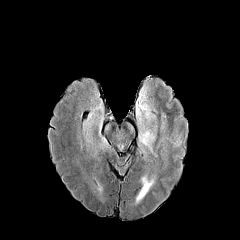
FLAIR MR.
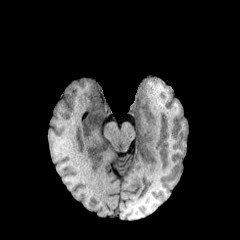
T1-weighted magnetic resonance.
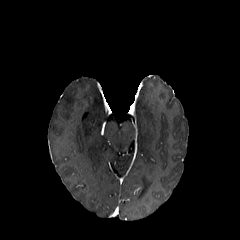
Post-contrast T1-weighted magnetic resonance.
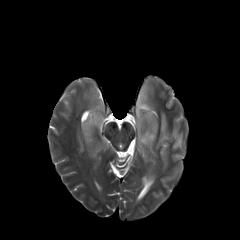
T2-weighted MR image.
2 peritumoral edema regions appear at {"x1": 136, "y1": 85, "x2": 156, "y2": 152}, {"x1": 82, "y1": 111, "x2": 93, "y2": 141}.